Axial slice, Slice 58/155, 240x240
FLAIR MR image.
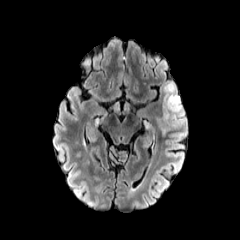
T1-weighted MR image.
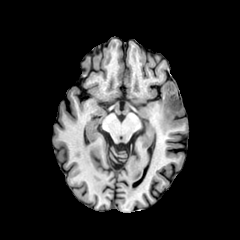
Post-contrast T1-weighted MR image.
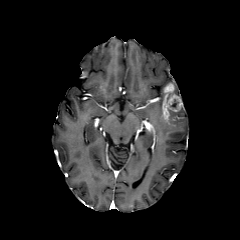
T2-weighted MR image.
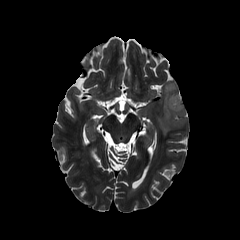
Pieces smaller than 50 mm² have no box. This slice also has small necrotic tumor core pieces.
Segmented structures:
• enhancing tumor: box(162, 82, 182, 125)
• peritumoral edema: box(157, 107, 186, 133)